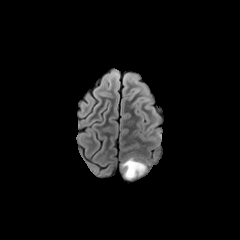
FLAIR magnetic resonance.
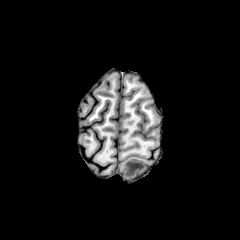
T1-weighted MRI of the same slice.
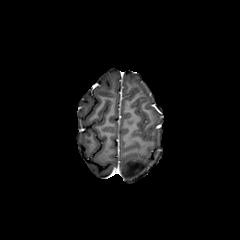
Post-contrast T1-weighted MR image.
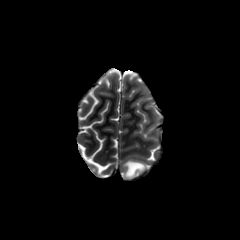
T2-weighted magnetic resonance.
Axial view. Head.
peritumoral_edema:
  - x1=122 y1=159 x2=145 y2=179